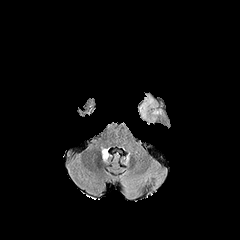
FLAIR MR.
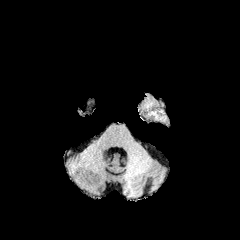
Same slice, T1-weighted MRI.
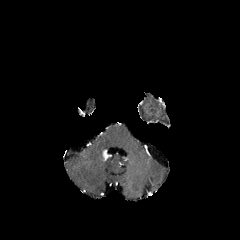
Post-contrast T1-weighted MR.
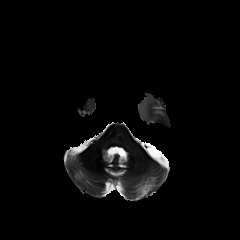
T2-weighted MRI of the same slice.
Axial view, Image size 240x240
Segmented structures:
- enhancing tumor: bbox(101, 149, 110, 161)
- peritumoral edema: bbox(139, 98, 147, 120)